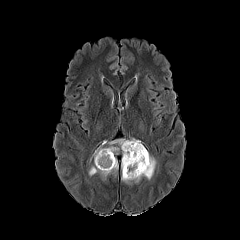
FLAIR MR.
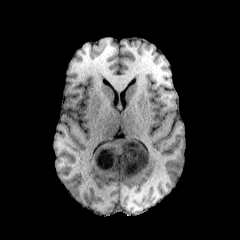
Same slice, T1-weighted MR image.
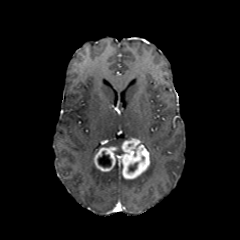
Post-contrast T1-weighted magnetic resonance of the same slice.
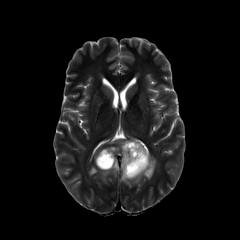
T2-weighted MRI.
Brain. Image size 240x240.
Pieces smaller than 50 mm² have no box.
enhancing tumor: bounding box x1=94, y1=147, x2=117, y2=171; x1=121, y1=138, x2=149, y2=179
necrotic tumor core: bounding box x1=128, y1=163, x2=137, y2=171; x1=97, y1=151, x2=111, y2=167
peritumoral edema: bounding box x1=89, y1=159, x2=118, y2=180; x1=109, y1=139, x2=125, y2=147; x1=121, y1=156, x2=156, y2=184